FLAIR MRI.
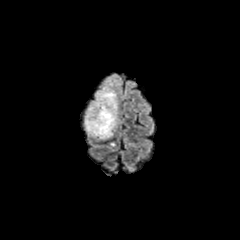
T1-weighted MR.
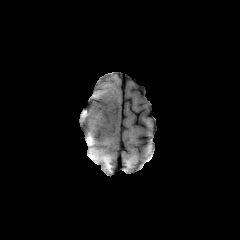
Post-contrast T1-weighted magnetic resonance.
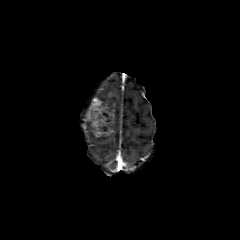
T2-weighted MR image.
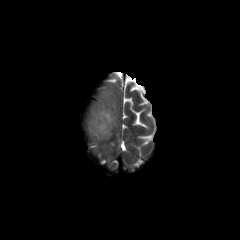
Axial view
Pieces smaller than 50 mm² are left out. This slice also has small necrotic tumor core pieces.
{"enhancing_tumor": ["bbox(85, 92, 115, 137)"], "peritumoral_edema": ["bbox(85, 124, 113, 139)", "bbox(94, 87, 118, 128)"]}